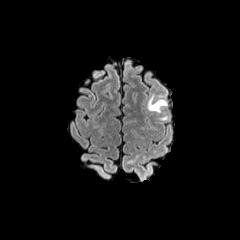
FLAIR magnetic resonance.
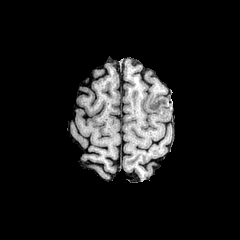
T1-weighted magnetic resonance.
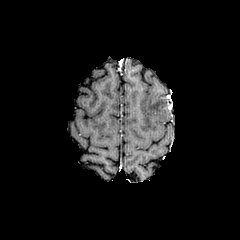
Post-contrast T1-weighted MRI of the same slice.
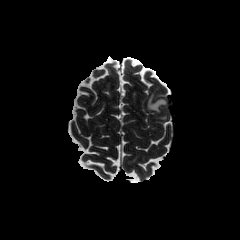
T2-weighted MR image.
Brain, 240x240 px
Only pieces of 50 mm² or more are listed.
peritumoral edema: bounding box box(147, 95, 166, 112)